Head, Axial plane, 240x240 px
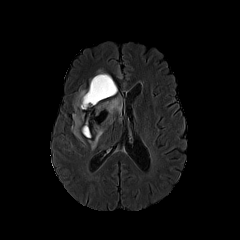
FLAIR MRI.
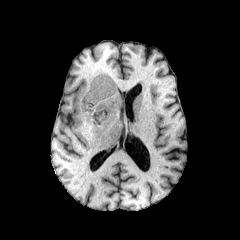
T1-weighted magnetic resonance.
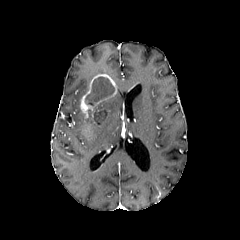
Post-contrast T1-weighted MRI.
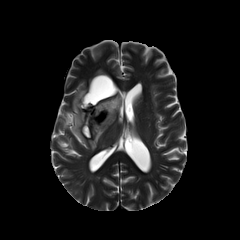
T2-weighted MR image.
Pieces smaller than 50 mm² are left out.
<segmentation>
  <enhancing_tumor>80 74 117 127</enhancing_tumor>
  <peritumoral_edema>71 112 87 140, 82 118 90 138, 99 96 122 123, 74 90 86 110, 89 127 104 149</peritumoral_edema>
  <necrotic_tumor_core>85 77 114 105, 94 110 107 125</necrotic_tumor_core>
</segmentation>